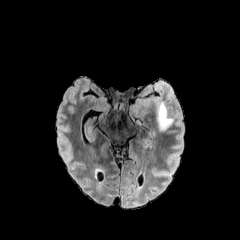
FLAIR MRI.
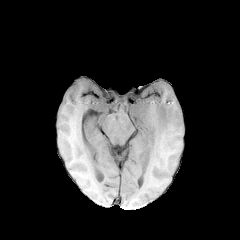
Same slice, T1-weighted MR.
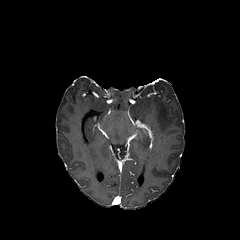
Post-contrast T1-weighted MR.
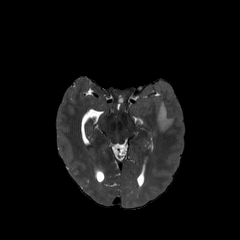
T2-weighted MR.
Head; Axial view
{
  "peritumoral_edema": [
    "region(157, 101, 174, 131)"
  ]
}